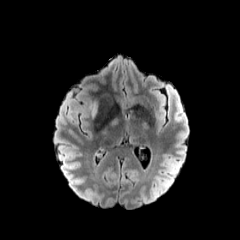
FLAIR magnetic resonance.
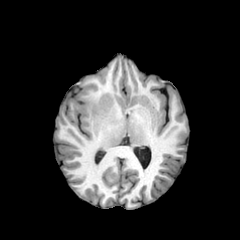
T1-weighted MRI of the same slice.
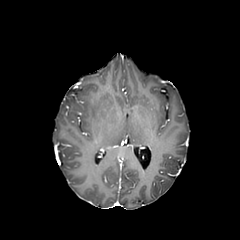
Post-contrast T1-weighted MRI.
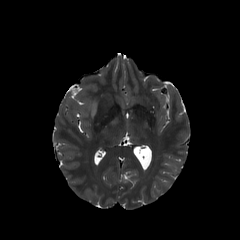
T2-weighted MRI of the same slice.
Head, Axial view
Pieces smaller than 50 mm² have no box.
{"peritumoral_edema": ["91,101,98,118"]}